Axial slice; 240x240; Brain
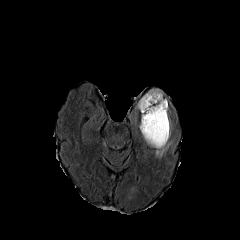
FLAIR MR image.
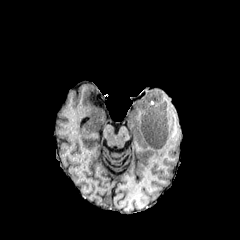
T1-weighted MRI.
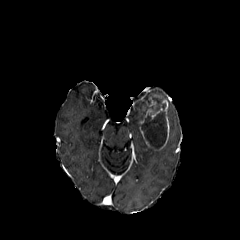
Post-contrast T1-weighted MRI.
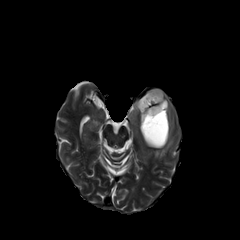
T2-weighted MR image of the same slice.
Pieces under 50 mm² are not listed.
The 2 largest peritumoral edema regions are located at x1=155 y1=139 x2=172 y2=158, x1=136 y1=89 x2=163 y2=119. The enhancing tumor is bounded by x1=140 y1=94 x2=169 y2=149. The 2 largest necrotic tumor core regions are bounded by x1=152 y1=96 x2=162 y2=110, x1=141 y1=111 x2=166 y2=147.